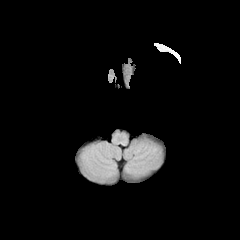
FLAIR MRI.
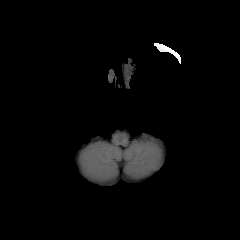
Same slice, T1-weighted MR.
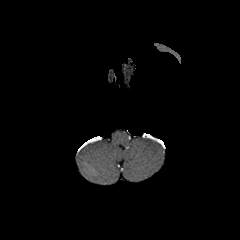
Post-contrast T1-weighted magnetic resonance of the same slice.
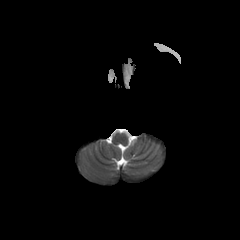
T2-weighted MRI of the same slice.
Axial plane | Brain
{
  "peritumoral_edema": [
    "box(108, 69, 116, 82)"
  ]
}